Slice 103 of 155, Image width 240 mm, 1.00 mm slice spacing, Axial slice
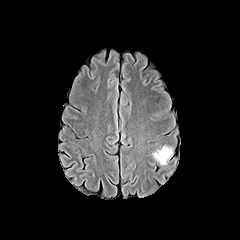
FLAIR MRI.
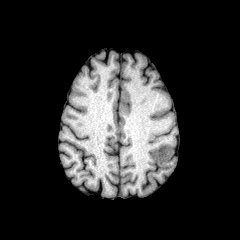
T1-weighted MR image.
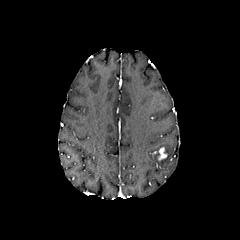
Same slice, post-contrast T1-weighted MR.
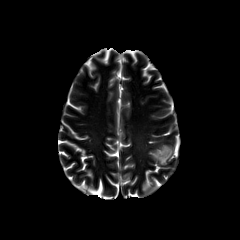
T2-weighted MRI.
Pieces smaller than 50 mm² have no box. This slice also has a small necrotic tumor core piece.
enhancing_tumor:
  - [158, 147, 167, 160]
peritumoral_edema:
  - [158, 145, 173, 165]